Brain, Image width 240 mm
FLAIR magnetic resonance.
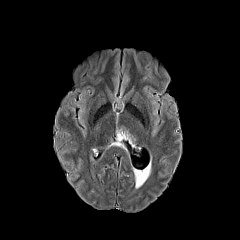
T1-weighted MR.
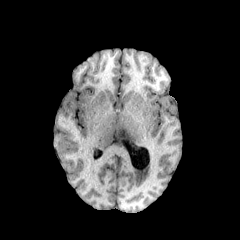
Post-contrast T1-weighted magnetic resonance.
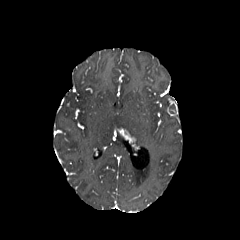
T2-weighted MRI.
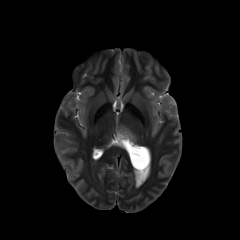
peritumoral edema: (113,131,124,146) | enhancing tumor: (117,128,135,142)